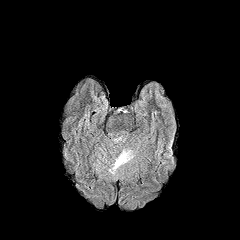
FLAIR magnetic resonance.
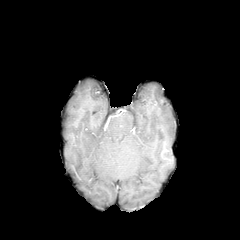
Same slice, T1-weighted MRI.
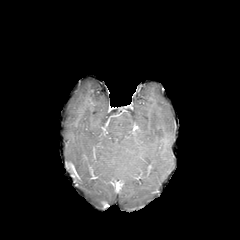
Post-contrast T1-weighted MR image of the same slice.
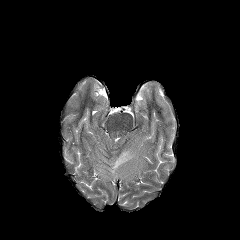
T2-weighted MRI.
Brain
peritumoral edema at x1=109 y1=149 x2=134 y2=175